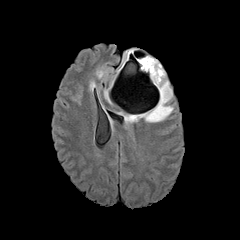
FLAIR MRI.
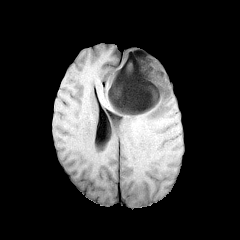
T1-weighted MR image.
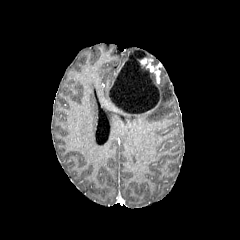
Post-contrast T1-weighted MR of the same slice.
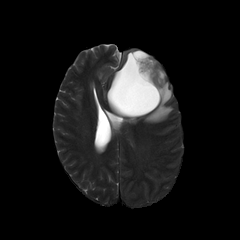
T2-weighted magnetic resonance.
Axial view, Image size 240x240, Brain
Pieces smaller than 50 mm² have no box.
necrotic tumor core: [109, 50, 159, 114]
enhancing tumor: [141, 58, 160, 83]
peritumoral edema: [125, 68, 172, 122]